FLAIR MR image.
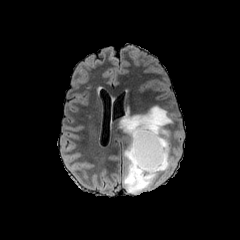
T1-weighted magnetic resonance.
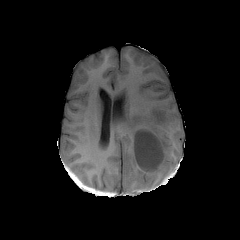
Post-contrast T1-weighted MR image.
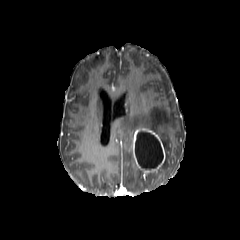
T2-weighted MRI.
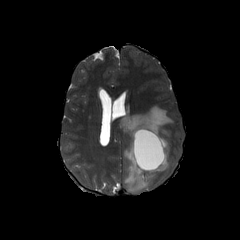
Axial view, Brain
necrotic tumor core: <box>135,131,163,169</box> | peritumoral edema: <box>120,106,173,192</box> | enhancing tumor: <box>132,128,165,173</box>